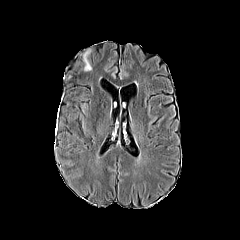
FLAIR MR.
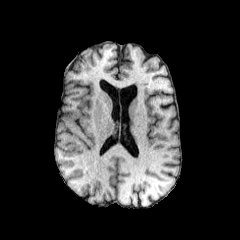
T1-weighted magnetic resonance.
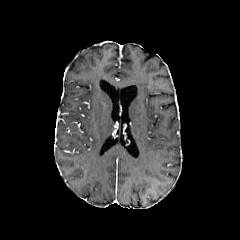
Post-contrast T1-weighted MR.
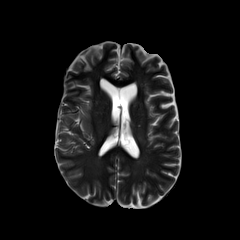
Same slice, T2-weighted MR image.
Brain.
Segmented structures:
* peritumoral edema: bbox(81, 48, 93, 73)